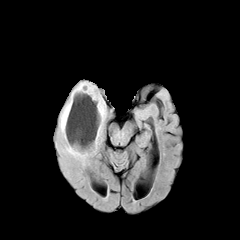
FLAIR MRI.
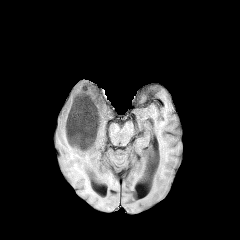
T1-weighted MRI.
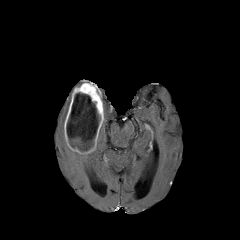
Post-contrast T1-weighted magnetic resonance.
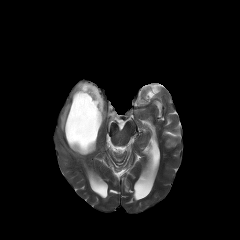
Same slice, T2-weighted MR.
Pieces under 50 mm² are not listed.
The necrotic tumor core appears at box(66, 93, 99, 151). The 3 largest peritumoral edema regions are located at box(59, 95, 91, 160); box(92, 121, 104, 152); box(102, 96, 109, 120). The largest enhancing tumor region is at box(64, 81, 104, 154).